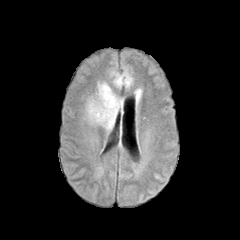
FLAIR magnetic resonance.
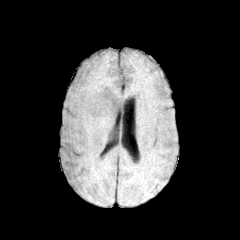
T1-weighted MR.
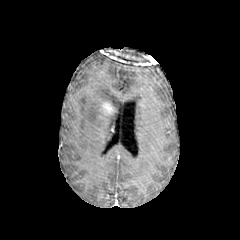
Post-contrast T1-weighted MRI.
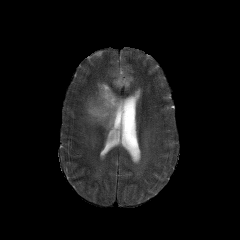
T2-weighted MR image.
Brain.
<segmentation>
  <enhancing_tumor>box(99, 101, 115, 115)</enhancing_tumor>
  <peritumoral_edema>box(85, 82, 123, 130); box(111, 70, 133, 88)</peritumoral_edema>
</segmentation>